FLAIR MR.
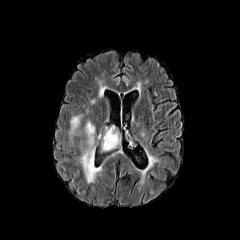
T1-weighted MR image.
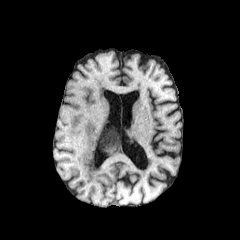
Post-contrast T1-weighted magnetic resonance.
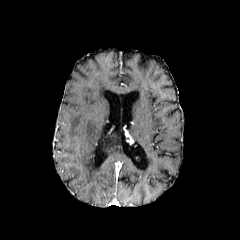
T2-weighted MR.
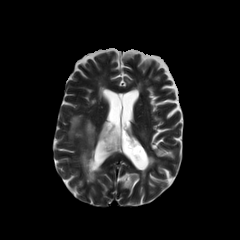
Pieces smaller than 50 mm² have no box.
<segmentation>
  <peritumoral_edema>(x1=102, y1=128, x2=118, y2=151), (x1=70, y1=116, x2=79, y2=134), (x1=82, y1=122, x2=100, y2=182)</peritumoral_edema>
</segmentation>